Brain
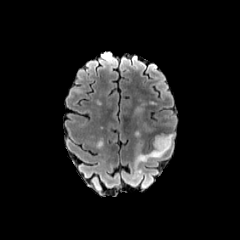
FLAIR MR.
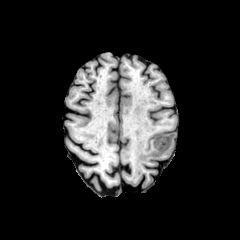
T1-weighted MR.
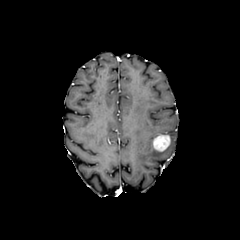
Post-contrast T1-weighted magnetic resonance.
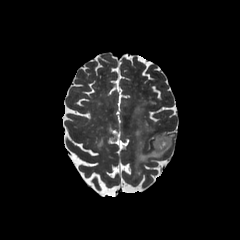
T2-weighted magnetic resonance of the same slice.
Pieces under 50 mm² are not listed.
The 2 largest peritumoral edema regions appear at box(144, 123, 155, 132); box(133, 133, 174, 174). The enhancing tumor is located at box(153, 134, 170, 151).